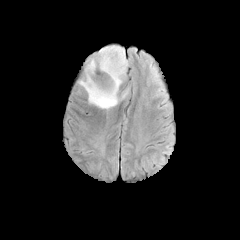
FLAIR MRI.
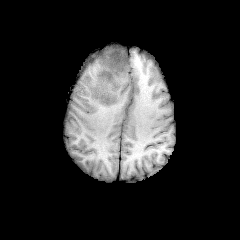
T1-weighted MR.
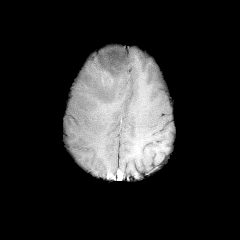
Post-contrast T1-weighted magnetic resonance.
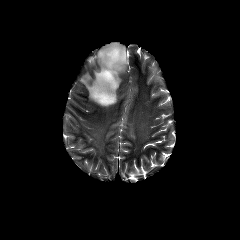
T2-weighted MRI.
Brain. Axial plane.
enhancing tumor: (left=98, top=70, right=113, bottom=85)
peritumoral edema: (left=77, top=45, right=127, bottom=109)